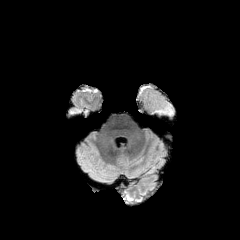
FLAIR magnetic resonance.
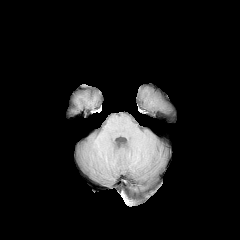
T1-weighted MR of the same slice.
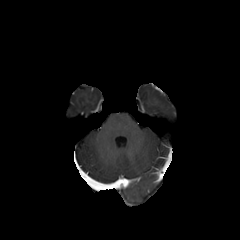
Same slice, post-contrast T1-weighted MR image.
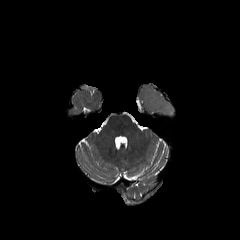
T2-weighted magnetic resonance of the same slice.
240x240, Axial slice
{
  "peritumoral_edema": [
    "x1=147 y1=96 x2=172 y2=115"
  ]
}